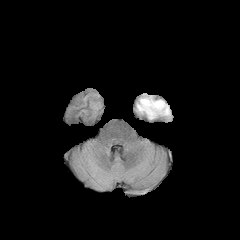
FLAIR MR image.
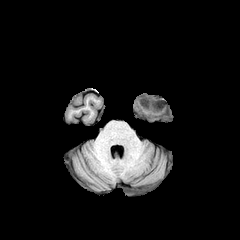
T1-weighted MRI.
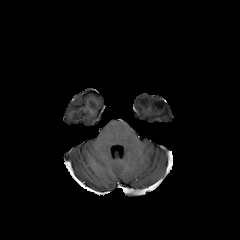
Post-contrast T1-weighted MRI of the same slice.
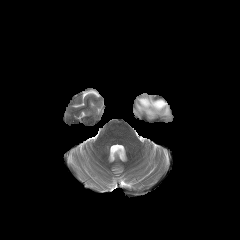
T2-weighted MR.
Brain
The peritumoral edema is located at [136,96,170,119].